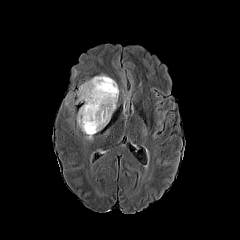
FLAIR MR image.
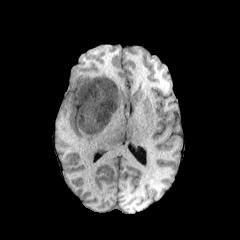
Same slice, T1-weighted MR.
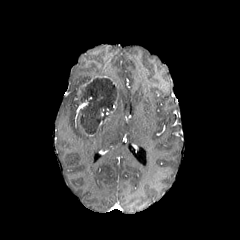
Post-contrast T1-weighted MR.
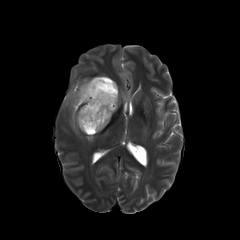
Same slice, T2-weighted MR image.
Axial plane. 240x240.
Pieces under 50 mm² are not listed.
The necrotic tumor core is bounded by 79,78,117,134. The 3 largest peritumoral edema regions are bounded by 77,109,86,134; 65,92,75,106; 92,120,109,134. The largest enhancing tumor region lies within 78,75,112,96.